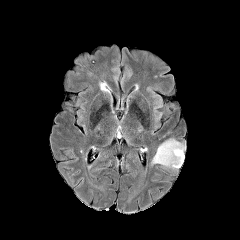
FLAIR MR image.
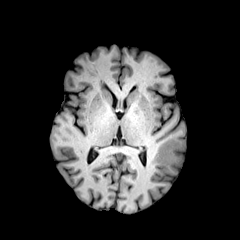
T1-weighted magnetic resonance.
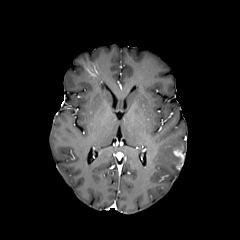
Post-contrast T1-weighted MR image.
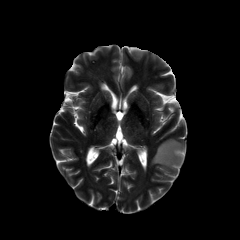
T2-weighted MR image.
Image size 240x240 | Axial plane | Brain
{"peritumoral_edema": ["151 138 185 169"], "enhancing_tumor": ["173 147 184 169"]}